Brain
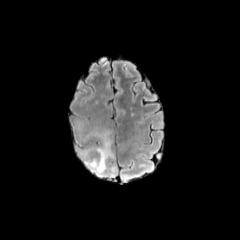
FLAIR MR.
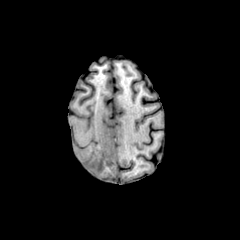
T1-weighted MR image.
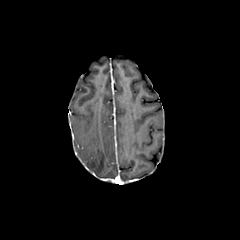
Post-contrast T1-weighted magnetic resonance.
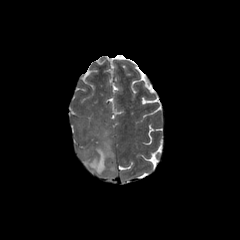
T2-weighted MR.
The peritumoral edema is bounded by bbox(80, 130, 116, 176).